FLAIR MR.
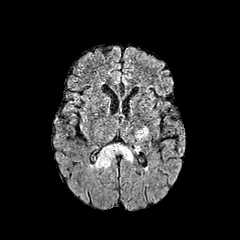
T1-weighted MR image.
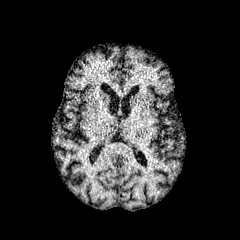
Post-contrast T1-weighted MRI.
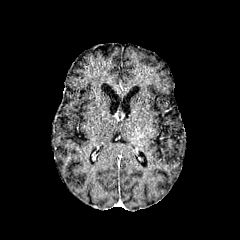
T2-weighted MR image.
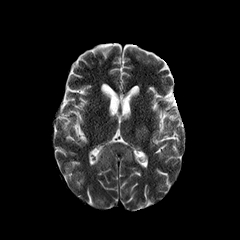
240x240
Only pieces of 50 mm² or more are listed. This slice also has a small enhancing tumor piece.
peritumoral edema: bounding box (133,127,148,140), (95,144,132,168)